Axial slice, Slice 83/155, Brain, 240x240 px
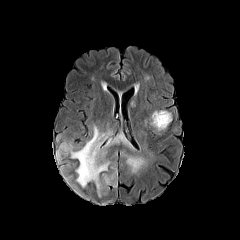
FLAIR MRI.
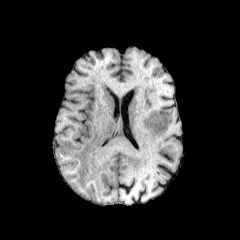
T1-weighted MR.
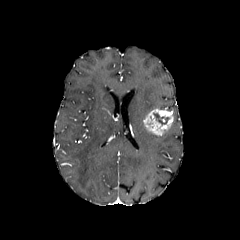
Post-contrast T1-weighted MR.
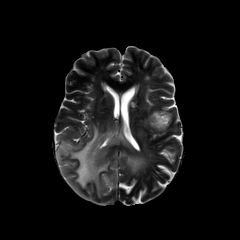
T2-weighted magnetic resonance.
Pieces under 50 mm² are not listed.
peritumoral edema: bounding box left=62, top=165, right=89, bottom=198; left=126, top=156, right=146, bottom=172; left=104, top=171, right=115, bottom=185; left=56, top=125, right=132, bottom=196
necrotic tumor core: bounding box left=154, top=113, right=169, bottom=124
enhancing tumor: bounding box left=143, top=109, right=173, bottom=135